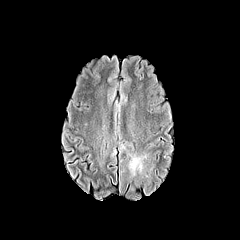
FLAIR magnetic resonance.
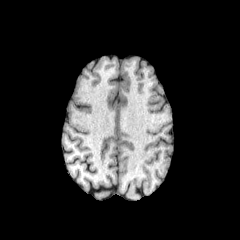
T1-weighted MR image of the same slice.
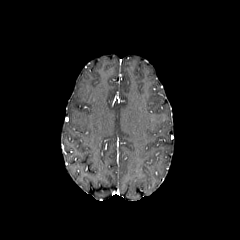
Post-contrast T1-weighted MR image.
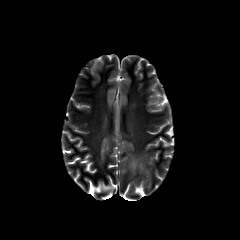
T2-weighted MRI.
Brain. 240x240.
Findings:
* peritumoral edema: [x1=129, y1=156, x2=142, y2=174]